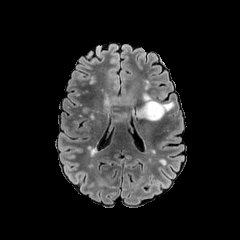
FLAIR magnetic resonance.
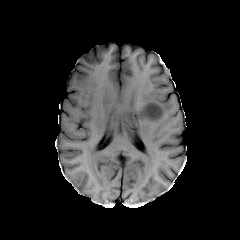
T1-weighted MRI.
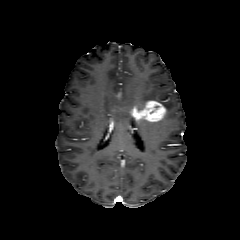
Post-contrast T1-weighted MRI.
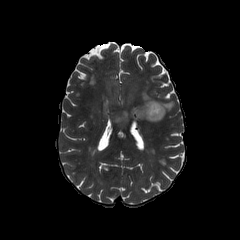
T2-weighted MR image of the same slice.
Brain
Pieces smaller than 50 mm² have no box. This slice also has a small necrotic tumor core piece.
{"enhancing_tumor": ["[x1=131, y1=100, x2=166, y2=121]"], "peritumoral_edema": ["[x1=142, y1=92, x2=174, y2=111]"]}